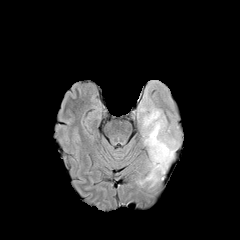
FLAIR MR image.
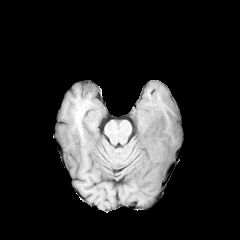
T1-weighted MR image.
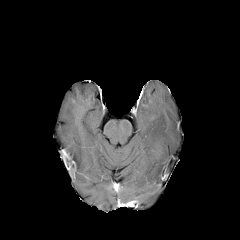
Same slice, post-contrast T1-weighted MR.
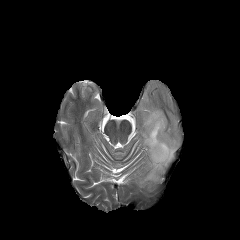
T2-weighted MRI.
Head, 240x240
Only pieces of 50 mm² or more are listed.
The largest peritumoral edema region is at box(139, 107, 178, 185).